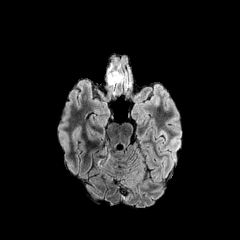
FLAIR MR.
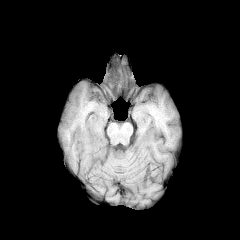
T1-weighted magnetic resonance.
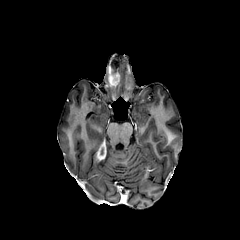
Post-contrast T1-weighted MRI.
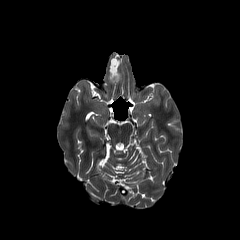
Same slice, T2-weighted MRI.
Head | Axial plane
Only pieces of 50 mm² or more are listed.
{"enhancing_tumor": ["[x1=109, y1=73, x2=119, y2=85]", "[x1=97, y1=144, x2=105, y2=160]"], "peritumoral_edema": ["[x1=97, y1=150, x2=113, y2=165]"]}